FLAIR MRI.
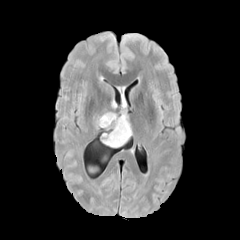
T1-weighted MRI.
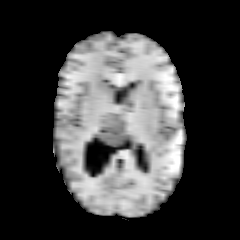
Post-contrast T1-weighted MR image.
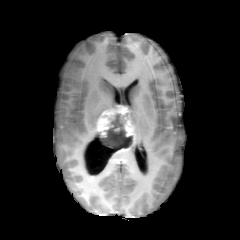
T2-weighted MR image.
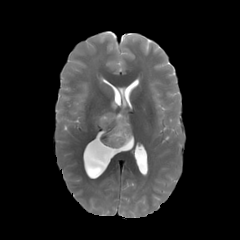
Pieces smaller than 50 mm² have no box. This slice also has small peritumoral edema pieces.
enhancing tumor: rect(97, 106, 135, 138) | necrotic tumor core: rect(101, 116, 131, 148)